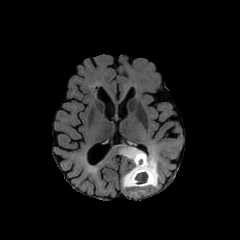
FLAIR magnetic resonance.
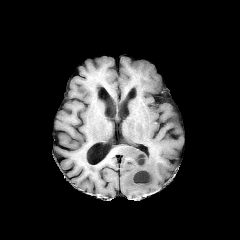
Same slice, T1-weighted MRI.
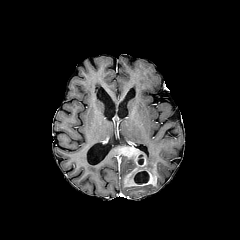
Same slice, post-contrast T1-weighted MR.
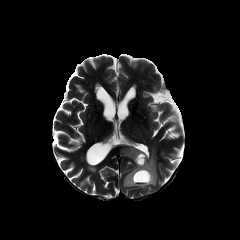
Same slice, T2-weighted MR image.
Axial slice, Image size 240x240
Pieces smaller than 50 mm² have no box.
peritumoral edema = (x1=122, y1=154, x2=159, y2=188)
necrotic tumor core = (x1=134, y1=171, x2=149, y2=184), (x1=138, y1=154, x2=143, y2=164)
enhancing tumor = (x1=120, y1=147, x2=156, y2=186)